Slice index 85, Head
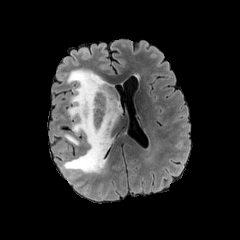
FLAIR MR.
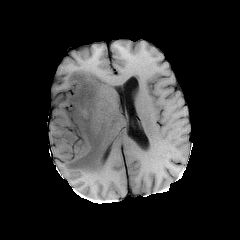
Same slice, T1-weighted MR.
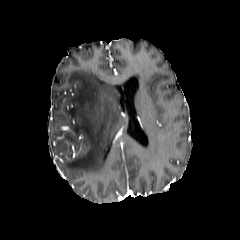
Post-contrast T1-weighted MRI of the same slice.
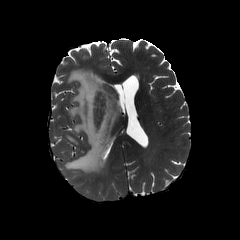
Same slice, T2-weighted MR image.
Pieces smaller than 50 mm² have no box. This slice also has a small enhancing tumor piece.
peritumoral edema: bounding box [64,133,80,145], [63,69,122,176]